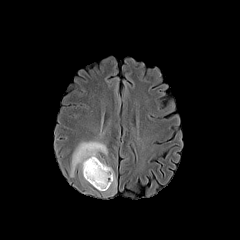
FLAIR MRI.
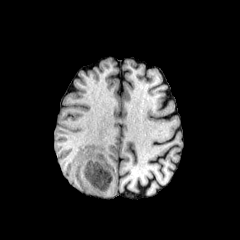
T1-weighted MR.
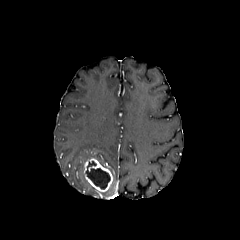
Same slice, post-contrast T1-weighted MR image.
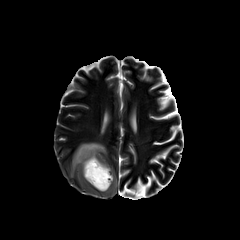
T2-weighted magnetic resonance.
Axial view | 240x240
enhancing tumor = (84,157,113,191)
peritumoral edema = (70,141,115,193)
necrotic tumor core = (86,161,110,189)